240x240. Brain.
FLAIR MR image.
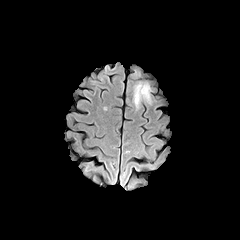
T1-weighted MR image.
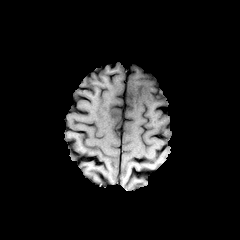
Post-contrast T1-weighted MR.
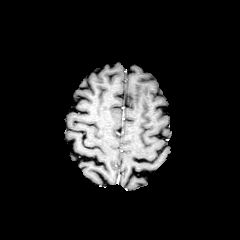
T2-weighted MR.
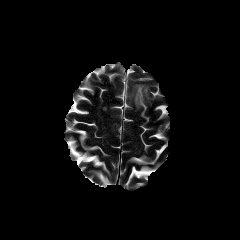
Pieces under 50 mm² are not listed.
The largest peritumoral edema region lies within left=133, top=82, right=150, bottom=108.